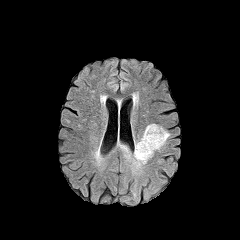
FLAIR MRI.
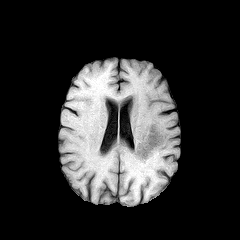
T1-weighted MR of the same slice.
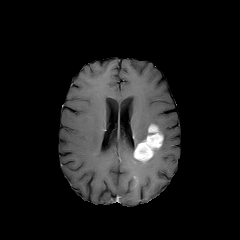
Post-contrast T1-weighted magnetic resonance.
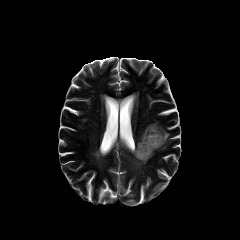
T2-weighted MRI of the same slice.
Axial plane; 240x240 px; Brain
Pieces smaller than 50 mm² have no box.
peritumoral edema at <box>157,125,170,147</box>, <box>134,125,149,147</box>, <box>117,140,145,169</box>
enhancing tumor at <box>134,124,163,162</box>